Axial plane. Image width 240 mm, 1.00 mm slice spacing. Image size 240x240.
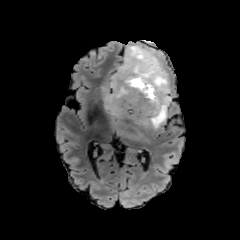
FLAIR MR image.
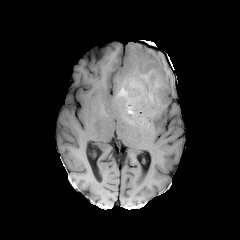
T1-weighted magnetic resonance.
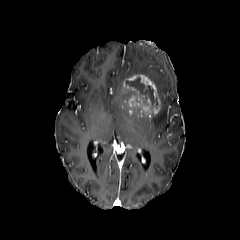
Post-contrast T1-weighted MRI.
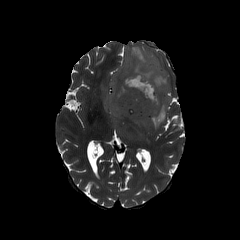
T2-weighted MRI of the same slice.
<segmentation>
  <peritumoral_edema>(99, 42, 173, 140)</peritumoral_edema>
  <enhancing_tumor>(120, 74, 159, 118)</enhancing_tumor>
  <necrotic_tumor_core>(127, 78, 157, 104), (126, 90, 135, 98)</necrotic_tumor_core>
</segmentation>